Image size 240x240 | Slice 70 of 155 | Axial plane
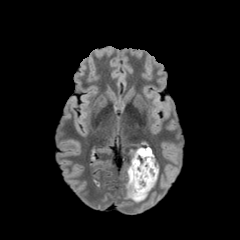
FLAIR MR.
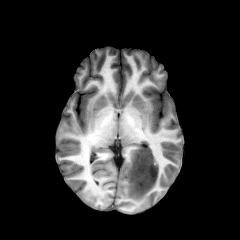
T1-weighted MRI.
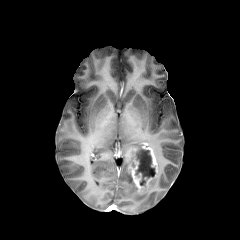
Post-contrast T1-weighted MR of the same slice.
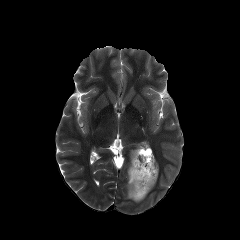
T2-weighted magnetic resonance.
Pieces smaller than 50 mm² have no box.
Annotated regions:
- peritumoral edema: 126, 169, 157, 202
- enhancing tumor: 128, 146, 158, 194
- necrotic tumor core: 135, 147, 155, 185